FLAIR MR.
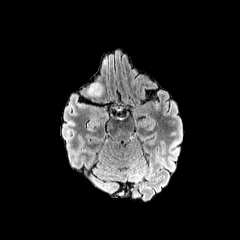
T1-weighted MRI.
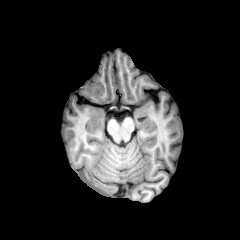
Post-contrast T1-weighted MR image.
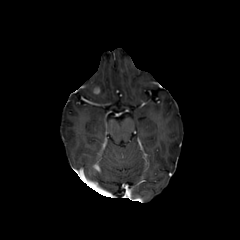
T2-weighted MRI.
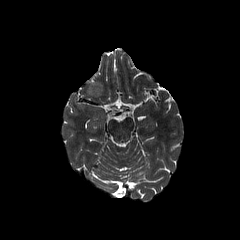
Brain; 240x240 px
enhancing tumor: bbox(92, 86, 100, 94)
peritumoral edema: bbox(87, 82, 103, 96)